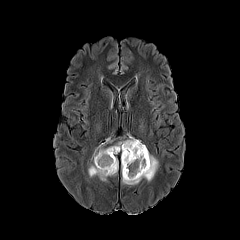
FLAIR magnetic resonance.
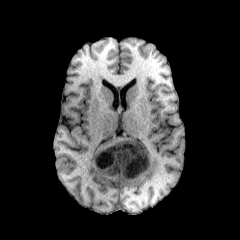
Same slice, T1-weighted MR.
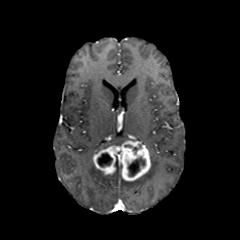
Post-contrast T1-weighted MR.
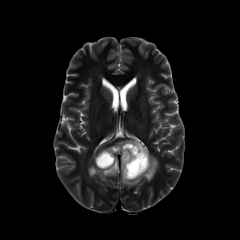
T2-weighted MR image of the same slice.
Head
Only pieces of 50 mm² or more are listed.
necrotic tumor core — l=127, t=157, r=145, b=176; l=97, t=152, r=112, b=167
enhancing tumor — l=93, t=140, r=150, b=181
peritumoral edema — l=88, t=159, r=118, b=181; l=122, t=154, r=158, b=185